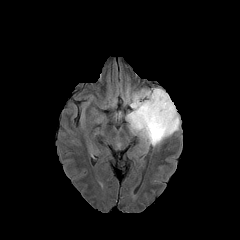
FLAIR MR.
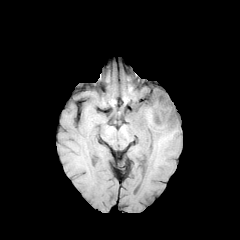
T1-weighted MRI.
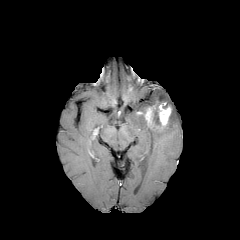
Post-contrast T1-weighted MRI of the same slice.
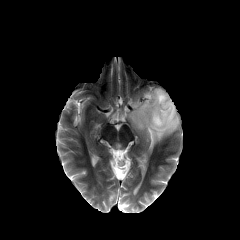
Same slice, T2-weighted MR image.
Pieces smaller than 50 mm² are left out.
Findings:
- enhancing tumor: {"x1": 144, "y1": 102, "x2": 172, "y2": 130}
- peritumoral edema: {"x1": 126, "y1": 88, "x2": 180, "y2": 146}